FLAIR MR image.
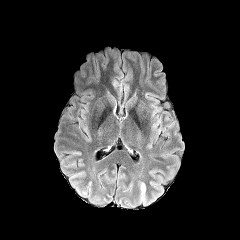
T1-weighted MR image.
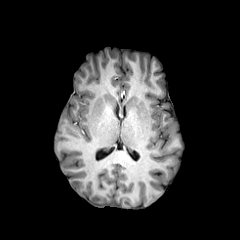
Post-contrast T1-weighted MR.
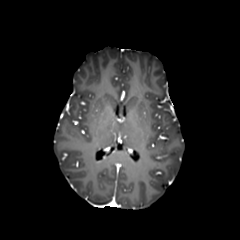
T2-weighted MRI.
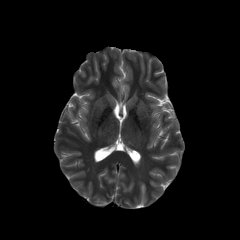
Brain | Axial slice
peritumoral edema: [140, 181, 146, 201]